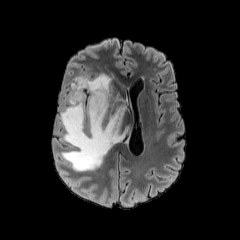
FLAIR MRI.
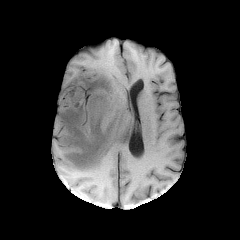
Same slice, T1-weighted MR image.
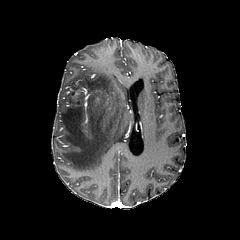
Post-contrast T1-weighted magnetic resonance of the same slice.
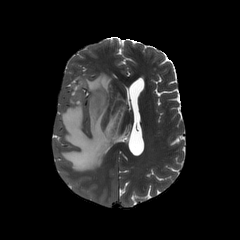
Same slice, T2-weighted MR.
Head, Axial slice
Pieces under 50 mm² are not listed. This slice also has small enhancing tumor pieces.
peritumoral edema = [60,72,126,171]